FLAIR MR image.
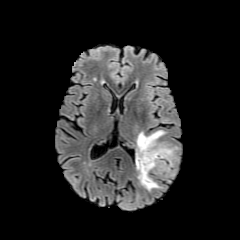
T1-weighted MR image.
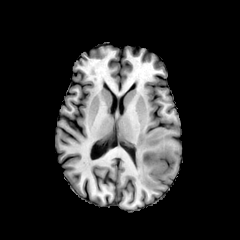
Post-contrast T1-weighted magnetic resonance.
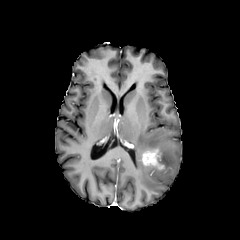
T2-weighted magnetic resonance.
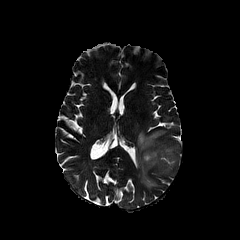
Head, Axial slice, 240x240 px
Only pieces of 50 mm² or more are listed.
The enhancing tumor is at (x1=142, y1=149, x2=164, y2=169). The largest peritumoral edema region is located at (x1=136, y1=130, x2=175, y2=190).